Head. Image width 240 mm, 1.00 mm slice spacing. Slice index 51. Axial view. Image size 240x240.
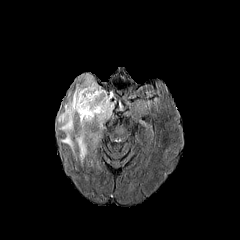
FLAIR MR image.
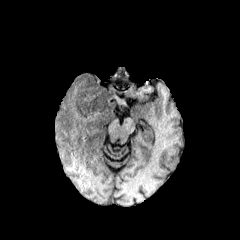
T1-weighted MR image of the same slice.
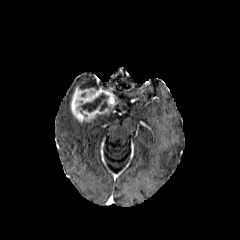
Post-contrast T1-weighted MR.
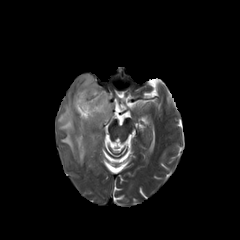
Same slice, T2-weighted magnetic resonance.
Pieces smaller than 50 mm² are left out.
Segmented structures:
• necrotic tumor core: x1=81 y1=93 x2=107 y2=112
• enhancing tumor: x1=70 y1=86 x2=115 y2=122
• peritumoral edema: x1=57 y1=92 x2=113 y2=163, x1=76 y1=73 x2=99 y2=89